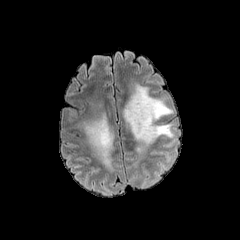
FLAIR MR image.
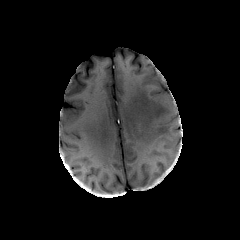
T1-weighted MRI.
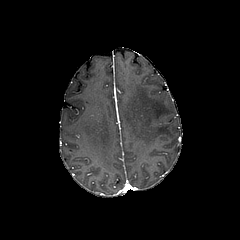
Post-contrast T1-weighted MRI of the same slice.
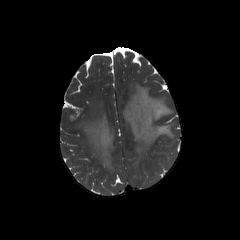
T2-weighted MR.
Axial view
2 peritumoral edema regions are located at box(123, 83, 174, 153); box(81, 113, 114, 169).